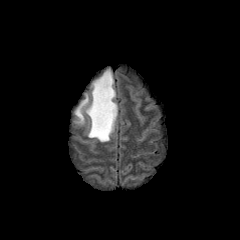
FLAIR magnetic resonance.
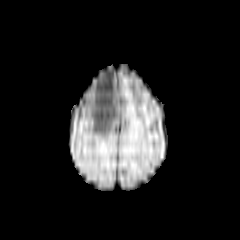
T1-weighted MR image of the same slice.
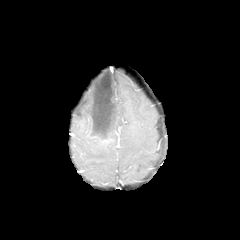
Post-contrast T1-weighted magnetic resonance.
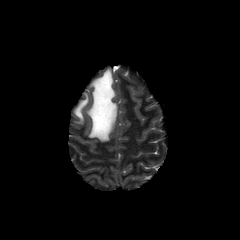
T2-weighted MR.
Brain
peritumoral edema: bounding box {"x1": 75, "y1": 69, "x2": 117, "y2": 142}